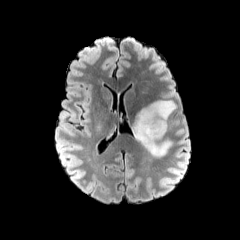
FLAIR MR image.
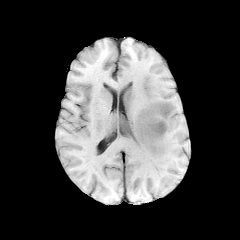
T1-weighted MRI.
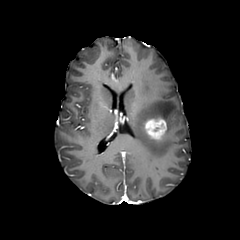
Post-contrast T1-weighted magnetic resonance of the same slice.
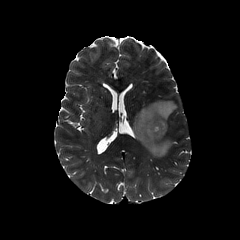
T2-weighted MR of the same slice.
Axial view, Brain
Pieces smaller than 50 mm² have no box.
The largest enhancing tumor region is bounded by box(144, 118, 166, 140). The peritumoral edema lies within box(131, 100, 176, 158). The necrotic tumor core is at box(147, 119, 164, 132).